FLAIR MR image.
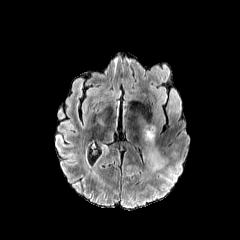
T1-weighted MRI.
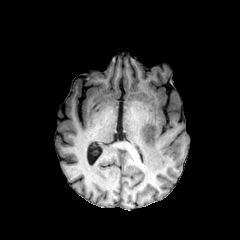
Post-contrast T1-weighted MR image.
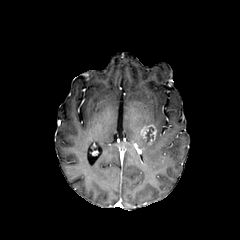
T2-weighted magnetic resonance.
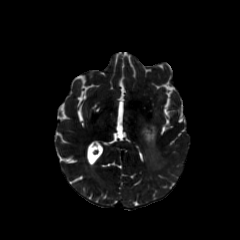
Axial view. Brain.
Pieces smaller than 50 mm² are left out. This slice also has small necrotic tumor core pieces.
peritumoral edema: bounding box x1=149 y1=152 x2=155 y2=161
enhancing tumor: bounding box x1=140 y1=124 x2=156 y2=145